Axial slice. 240x240 px. Head.
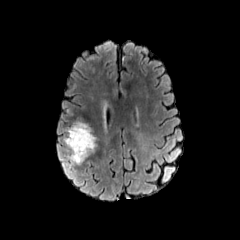
FLAIR MRI.
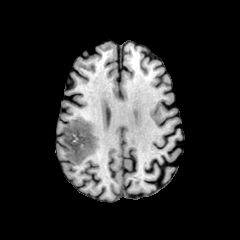
T1-weighted magnetic resonance of the same slice.
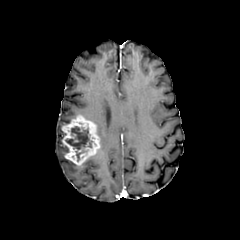
Post-contrast T1-weighted MR of the same slice.
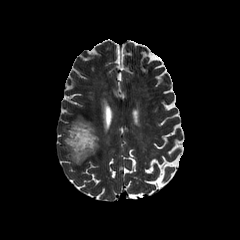
T2-weighted magnetic resonance of the same slice.
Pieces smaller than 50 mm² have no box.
necrotic tumor core: <bbox>65, 126, 92, 161</bbox>
enhancing tumor: <bbox>62, 115, 99, 165</bbox>